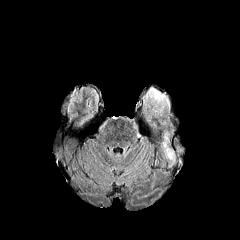
FLAIR MRI.
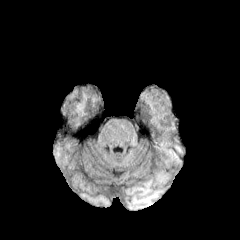
T1-weighted MRI.
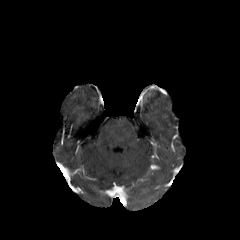
Post-contrast T1-weighted MR.
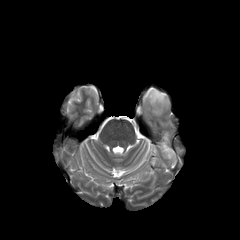
T2-weighted magnetic resonance.
240x240 px | Head
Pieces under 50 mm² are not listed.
peritumoral_edema:
  - region(151, 89, 168, 103)
  - region(163, 142, 174, 159)